240x240. Slice 62 of 155.
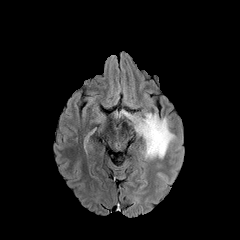
FLAIR MR image.
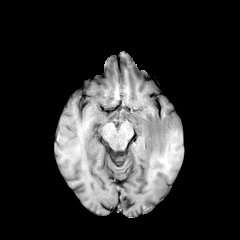
T1-weighted MRI.
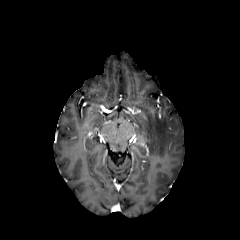
Post-contrast T1-weighted MR image of the same slice.
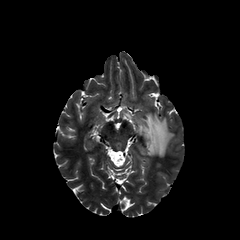
T2-weighted MR of the same slice.
peritumoral edema: [129,113,174,157]